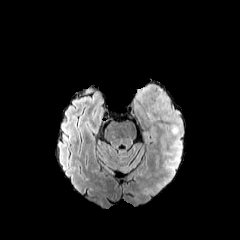
FLAIR magnetic resonance.
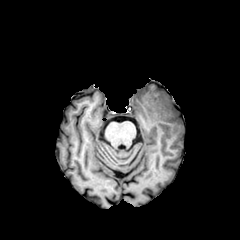
Same slice, T1-weighted MR.
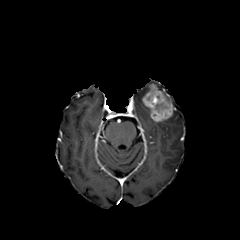
Post-contrast T1-weighted MR.
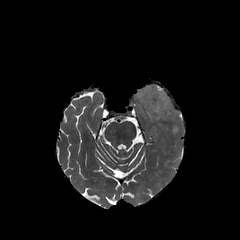
T2-weighted MRI of the same slice.
240x240, Axial view, Brain
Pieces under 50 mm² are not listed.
Segmented structures:
• enhancing tumor: <bbox>142, 84, 174, 121</bbox>
• peritumoral edema: <bbox>136, 86, 154, 122</bbox>, <bbox>165, 110, 182, 134</bbox>